FLAIR magnetic resonance.
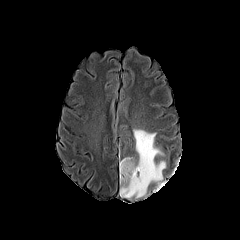
T1-weighted MR image.
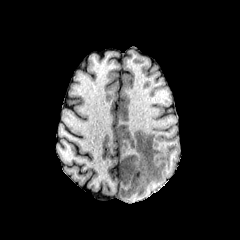
Post-contrast T1-weighted MR image.
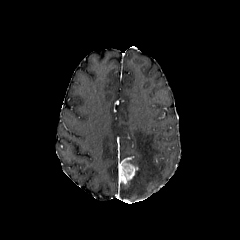
T2-weighted MR.
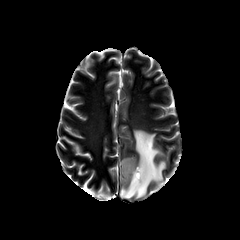
Axial plane. 240x240. Head.
The peritumoral edema is bounded by 120 129 165 198. The enhancing tumor appears at 118 157 138 184.